Axial slice.
FLAIR magnetic resonance.
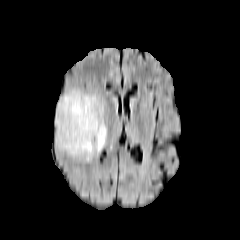
T1-weighted MR.
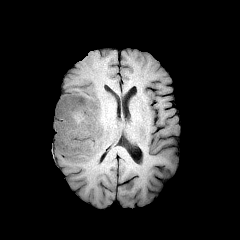
Post-contrast T1-weighted MR image.
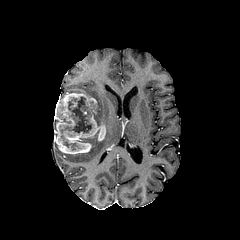
T2-weighted MR.
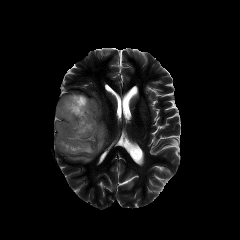
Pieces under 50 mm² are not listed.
The 2 largest peritumoral edema regions appear at 93,101,104,125; 68,127,106,161. The largest enhancing tumor region is bounded by 54,93,105,154. The 2 largest necrotic tumor core regions are located at 64,141,77,149; 60,97,91,132.